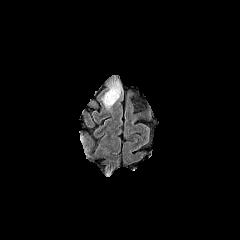
FLAIR magnetic resonance.
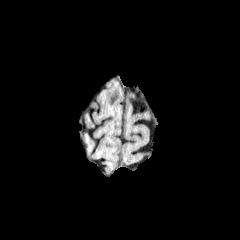
T1-weighted MRI.
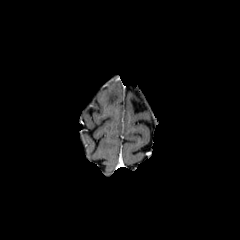
Same slice, post-contrast T1-weighted MR.
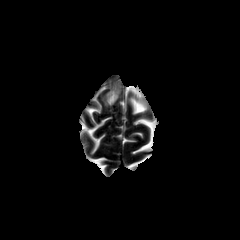
Same slice, T2-weighted MRI.
Image size 240x240
Findings:
- peritumoral edema: x1=102, y1=82, x2=121, y2=108